FLAIR magnetic resonance.
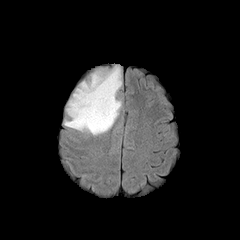
T1-weighted MR.
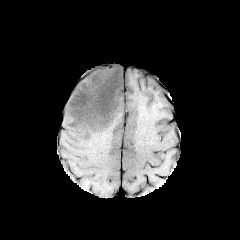
Post-contrast T1-weighted MR.
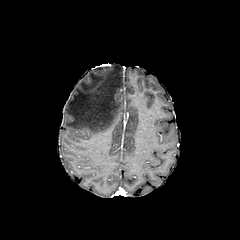
T2-weighted MRI.
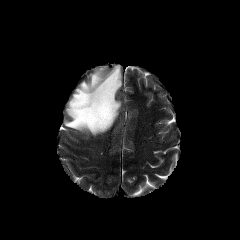
Image size 240x240; Head
peritumoral edema — rect(64, 65, 122, 135)